FLAIR MR image.
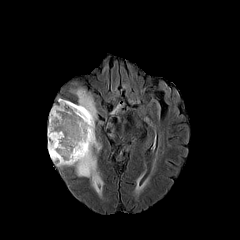
T1-weighted MR image.
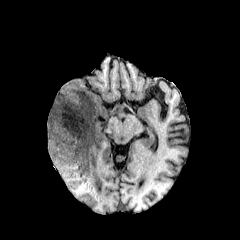
Post-contrast T1-weighted MR.
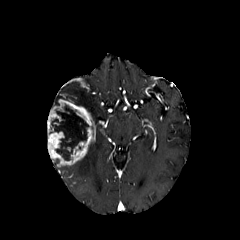
T2-weighted MRI.
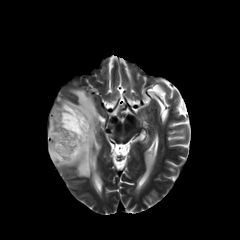
Image size 240x240
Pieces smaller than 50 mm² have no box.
Findings:
• enhancing tumor: x1=47, y1=99, x2=95, y2=166
• necrotic tumor core: x1=51, y1=105, x2=88, y2=160
• peritumoral edema: x1=73, y1=140, x2=103, y2=195; x1=72, y1=89, x2=97, y2=121